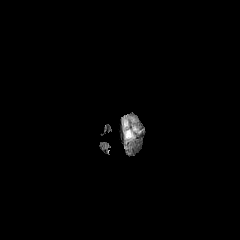
FLAIR MR.
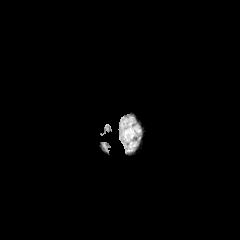
T1-weighted MRI of the same slice.
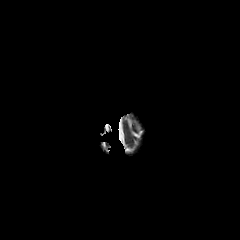
Same slice, post-contrast T1-weighted MR.
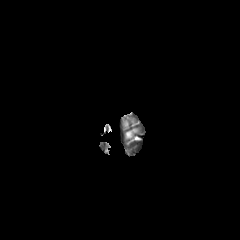
T2-weighted MR image.
Head
The peritumoral edema is bounded by {"x1": 122, "y1": 116, "x2": 141, "y2": 142}.